240x240 px; Axial view; Slice 109/155
FLAIR MRI.
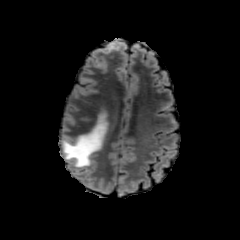
T1-weighted MR image.
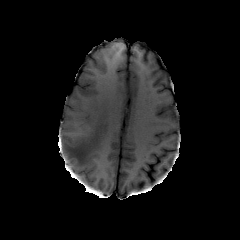
Post-contrast T1-weighted MR image.
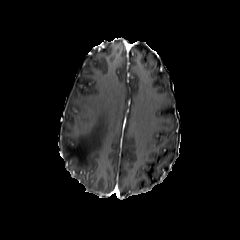
T2-weighted MRI.
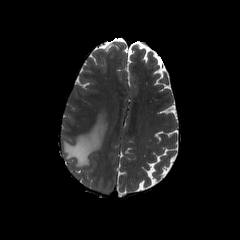
peritumoral edema = l=63, t=113, r=107, b=167